Axial view, Head
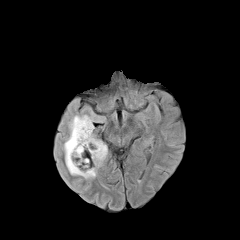
FLAIR MR image.
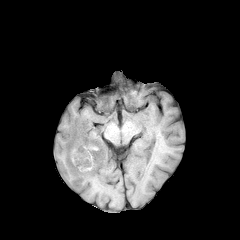
T1-weighted MRI.
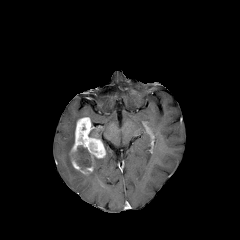
Same slice, post-contrast T1-weighted magnetic resonance.
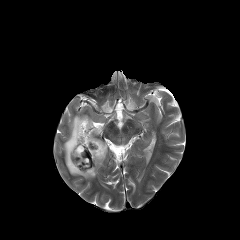
T2-weighted MR.
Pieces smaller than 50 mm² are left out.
enhancing_tumor:
  - (left=70, top=117, right=105, bottom=174)
peritumoral_edema:
  - (left=63, top=112, right=107, bottom=179)
necrotic_tumor_core:
  - (left=71, top=146, right=91, bottom=169)